Brain; Slice 68 of 155; Axial slice
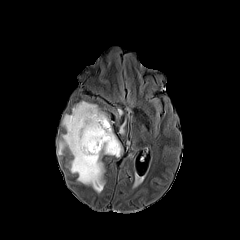
FLAIR magnetic resonance.
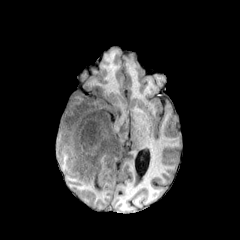
T1-weighted MR.
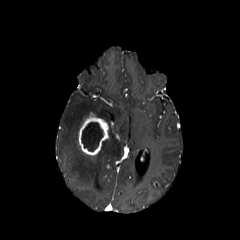
Post-contrast T1-weighted MR of the same slice.
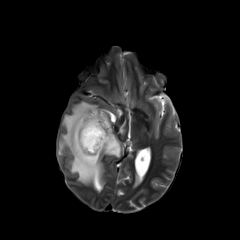
T2-weighted magnetic resonance.
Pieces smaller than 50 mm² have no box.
peritumoral_edema:
  - 119 121 125 133
  - 57 101 122 192
enhancing_tumor:
  - 78 112 109 155
necrotic_tumor_core:
  - 81 121 103 151